Brain; 240x240; Slice 98/155; Axial view
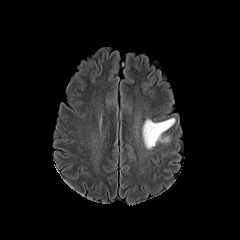
FLAIR MR.
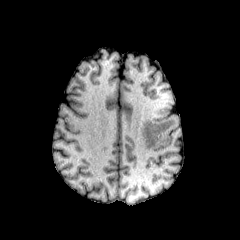
T1-weighted MR.
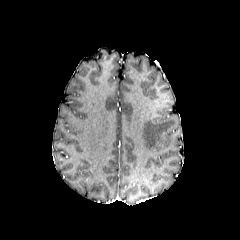
Post-contrast T1-weighted MRI of the same slice.
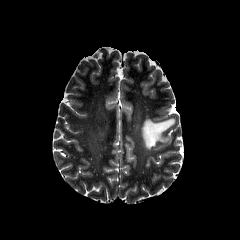
T2-weighted magnetic resonance.
peritumoral edema: (left=142, top=118, right=175, bottom=149)